Image width 240 mm, 1.00 mm slice spacing.
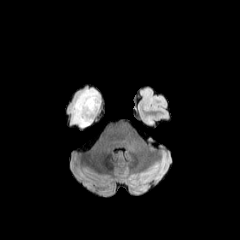
FLAIR magnetic resonance.
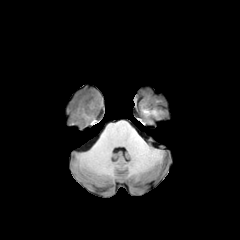
Same slice, T1-weighted MR.
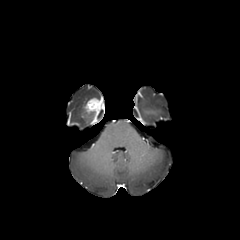
Post-contrast T1-weighted magnetic resonance.
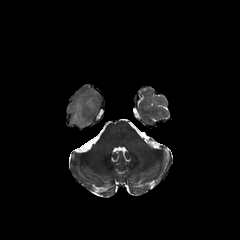
T2-weighted magnetic resonance of the same slice.
* enhancing tumor: 85:98:101:121
* peritumoral edema: 70:88:100:128